FLAIR MRI.
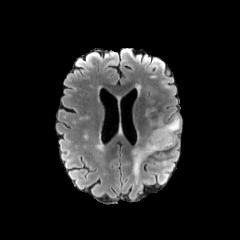
T1-weighted MR.
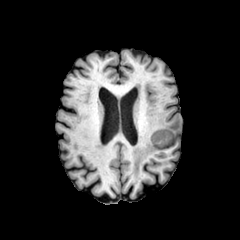
Post-contrast T1-weighted MR image.
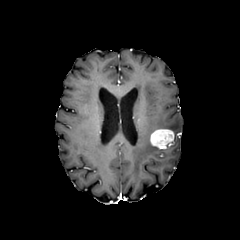
T2-weighted magnetic resonance.
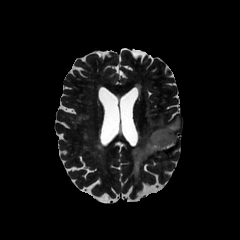
Image size 240x240. Axial slice. Brain.
Segmented structures:
* peritumoral edema: 131:130:162:175, 143:107:180:144
* enhancing tumor: 150:129:174:149